Brain | Slice index 100
FLAIR MR.
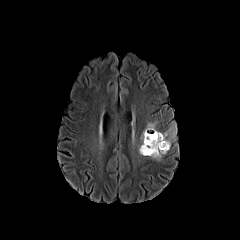
T1-weighted MR image.
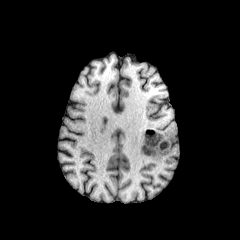
Post-contrast T1-weighted MR image.
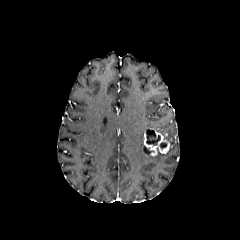
T2-weighted magnetic resonance.
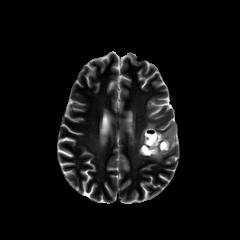
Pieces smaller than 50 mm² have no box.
The largest necrotic tumor core region lies within (x1=146, y1=130, x2=160, y2=145). The enhancing tumor is bounded by (x1=142, y1=128, x2=170, y2=157). 4 peritumoral edema regions appear at (x1=146, y1=122, x2=156, y2=129), (x1=151, y1=151, x2=165, y2=160), (x1=161, y1=124, x2=176, y2=143), (x1=139, y1=131, x2=143, y2=155).